FLAIR MR.
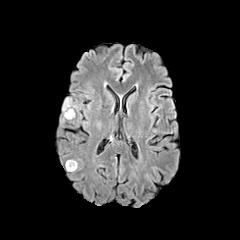
T1-weighted MR.
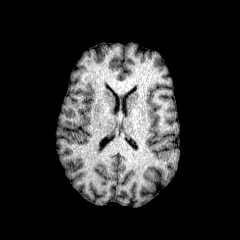
Post-contrast T1-weighted MRI.
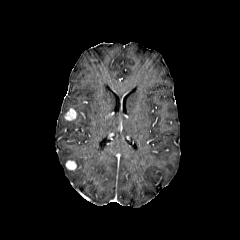
T2-weighted magnetic resonance.
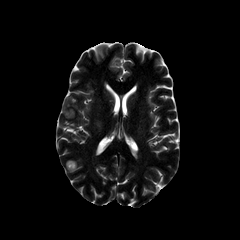
Head. Axial slice.
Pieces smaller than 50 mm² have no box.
Segmented structures:
• enhancing tumor: 66 160 76 170, 64 108 76 120
• peritumoral edema: 62 98 80 115